FLAIR MRI.
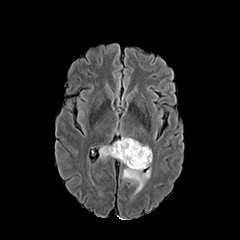
T1-weighted MRI.
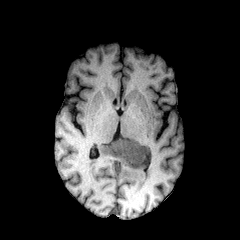
Post-contrast T1-weighted magnetic resonance.
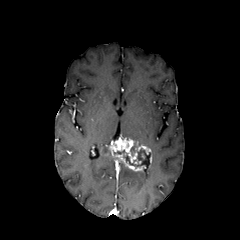
T2-weighted MR.
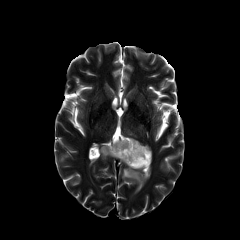
240x240 px
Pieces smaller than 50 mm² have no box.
{"necrotic_tumor_core": ["bbox=[124, 149, 150, 167]"], "peritumoral_edema": ["bbox=[99, 146, 111, 159]", "bbox=[122, 167, 150, 192]"], "enhancing_tumor": ["bbox=[107, 137, 151, 171]"]}